Image width 240 mm, Axial slice, Brain
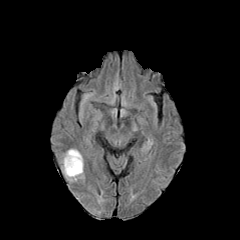
FLAIR MR image.
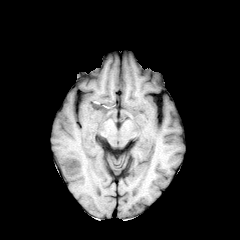
Same slice, T1-weighted magnetic resonance.
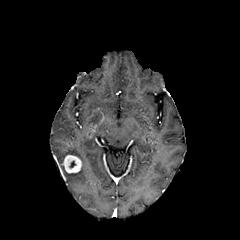
Post-contrast T1-weighted MR.
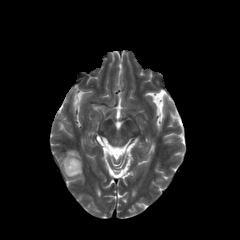
Same slice, T2-weighted MRI.
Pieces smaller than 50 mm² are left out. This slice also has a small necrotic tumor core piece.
The peritumoral edema is located at bbox(59, 149, 84, 182). The enhancing tumor appears at bbox(62, 155, 81, 173).